Axial slice
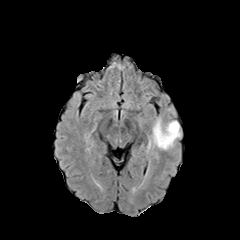
FLAIR MR.
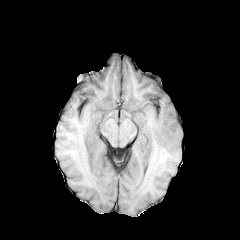
T1-weighted MR.
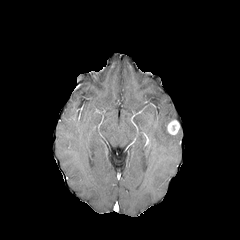
Post-contrast T1-weighted MR.
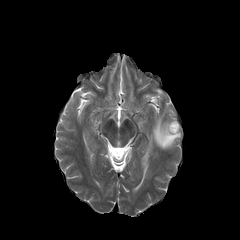
Same slice, T2-weighted MR image.
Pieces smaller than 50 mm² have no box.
- enhancing tumor: box=[167, 120, 179, 135]
- peritumoral edema: box=[150, 116, 181, 150]